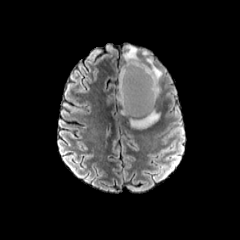
FLAIR MR image.
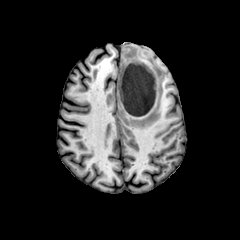
T1-weighted MR image.
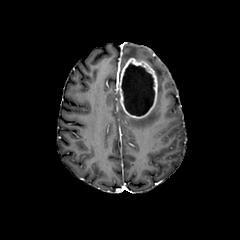
Post-contrast T1-weighted MR.
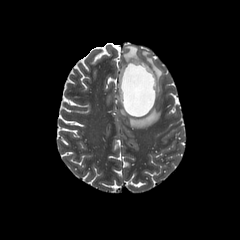
Same slice, T2-weighted MR.
Head | Axial slice
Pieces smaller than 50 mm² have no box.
The enhancing tumor is at 118,58,157,118. The necrotic tumor core appears at 121,63,154,116. The 3 largest peritumoral edema regions are located at 129,107,160,128; 142,51,163,94; 123,45,142,61.